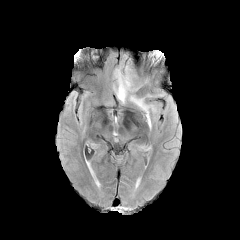
FLAIR MRI.
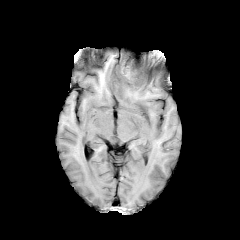
T1-weighted MR image.
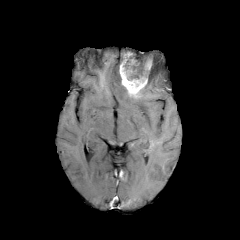
Post-contrast T1-weighted magnetic resonance of the same slice.
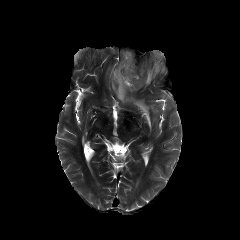
T2-weighted MR.
Axial slice
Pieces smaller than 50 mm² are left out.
The largest necrotic tumor core region lies within [126, 52, 149, 79]. The enhancing tumor appears at [119, 53, 152, 97]. The largest peritumoral edema region is at [113, 67, 166, 128].